Axial view | Head
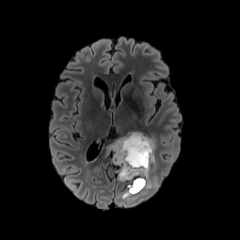
FLAIR magnetic resonance.
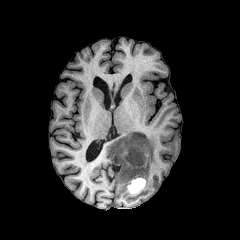
T1-weighted MR image.
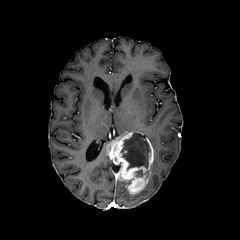
Post-contrast T1-weighted MR image of the same slice.
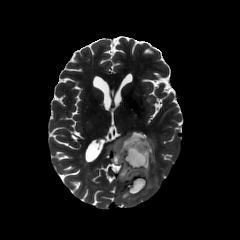
T2-weighted MR of the same slice.
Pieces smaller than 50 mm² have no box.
peritumoral edema at 147:137:156:165, 144:178:153:190, 122:191:134:198
necrotic tumor core at 121:133:150:169
enhancing tumor at 107:131:153:193